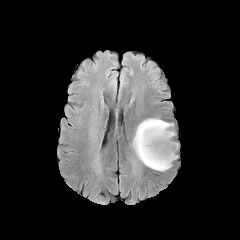
FLAIR MR image.
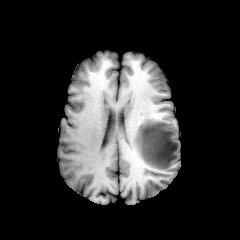
T1-weighted MR image.
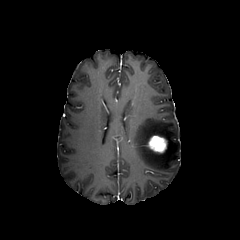
Post-contrast T1-weighted MR image of the same slice.
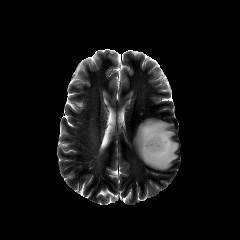
T2-weighted magnetic resonance.
Axial view; 240x240; Brain
{
  "enhancing_tumor": [
    "x1=147 y1=135 x2=167 y2=153"
  ],
  "peritumoral_edema": [
    "x1=133 y1=118 x2=178 y2=171"
  ]
}